FLAIR MR.
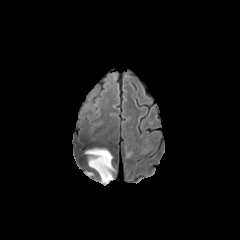
T1-weighted MR.
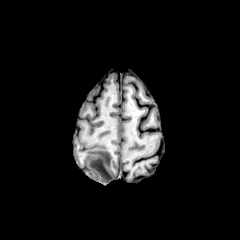
Post-contrast T1-weighted MRI.
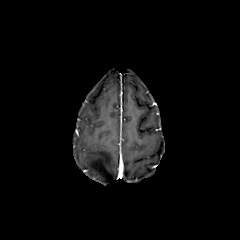
T2-weighted magnetic resonance.
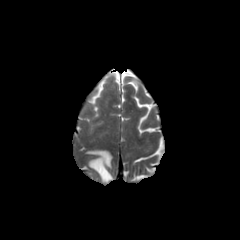
240x240.
- peritumoral edema: (86,149,114,182)